Image size 240x240. Slice 96/155.
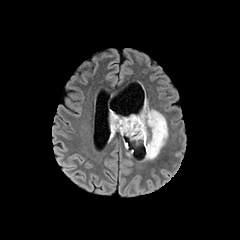
FLAIR MR.
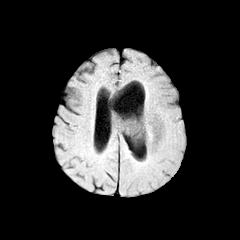
T1-weighted magnetic resonance of the same slice.
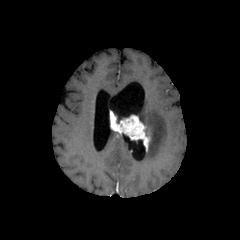
Post-contrast T1-weighted MR.
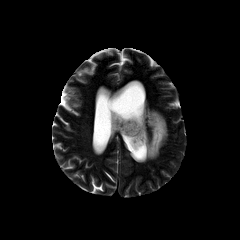
T2-weighted MR.
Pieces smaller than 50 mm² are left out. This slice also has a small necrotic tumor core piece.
Annotated regions:
- peritumoral edema: x1=138 y1=98 x2=167 y2=159
- enhancing tumor: x1=109 y1=110 x2=150 y2=151